Image size 240x240
FLAIR magnetic resonance.
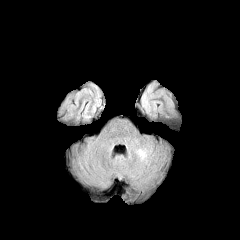
T1-weighted MR.
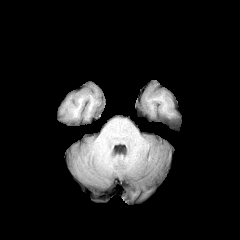
Post-contrast T1-weighted MR image.
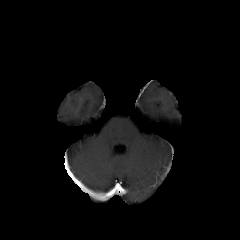
T2-weighted MR.
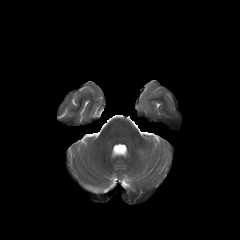
peritumoral edema: bounding box 141 83 152 113